FLAIR MRI.
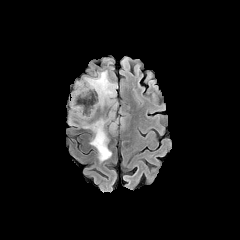
T1-weighted MR image.
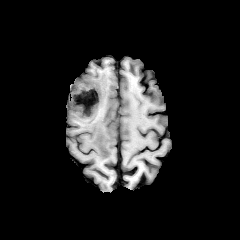
Post-contrast T1-weighted MR image.
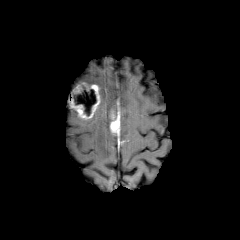
T2-weighted MRI.
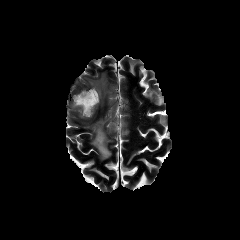
Head.
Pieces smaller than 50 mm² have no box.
<segmentation>
  <peritumoral_edema><bbox>85, 71, 115, 104</bbox>, <bbox>84, 116, 111, 160</bbox></peritumoral_edema>
  <enhancing_tumor><bbox>109, 109, 120, 134</bbox>, <bbox>69, 82, 100, 119</bbox></enhancing_tumor>
  <necrotic_tumor_core><bbox>73, 87, 96, 115</bbox></necrotic_tumor_core>
</segmentation>